FLAIR magnetic resonance.
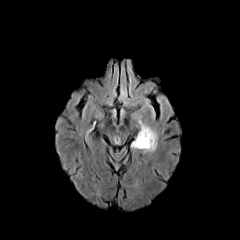
T1-weighted magnetic resonance.
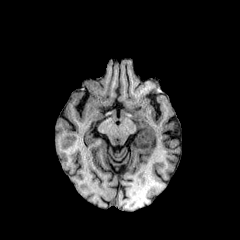
Post-contrast T1-weighted MR image.
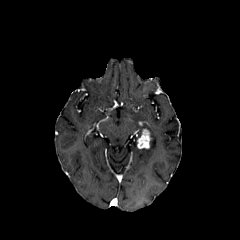
T2-weighted magnetic resonance.
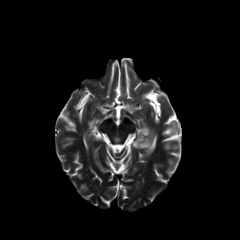
Axial plane, Image size 240x240
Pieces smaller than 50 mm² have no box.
peritumoral edema: left=137, top=124, right=157, bottom=153
enhancing tumor: left=137, top=127, right=151, bottom=148